Image width 240 mm, Axial view
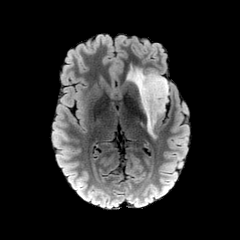
FLAIR magnetic resonance.
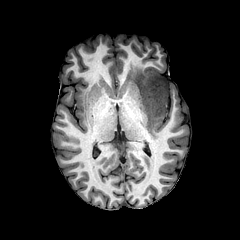
T1-weighted MR.
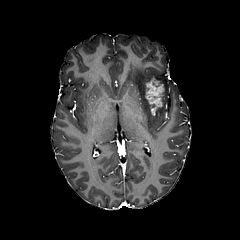
Post-contrast T1-weighted MR of the same slice.
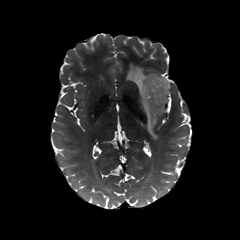
T2-weighted MR image of the same slice.
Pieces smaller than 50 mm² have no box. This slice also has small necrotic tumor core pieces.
enhancing tumor: box=[144, 78, 164, 115]
peritumoral edema: box=[126, 66, 168, 137]